Slice index 87 | 240x240
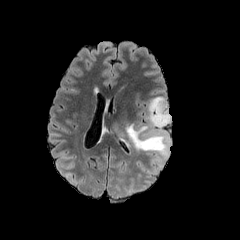
FLAIR magnetic resonance.
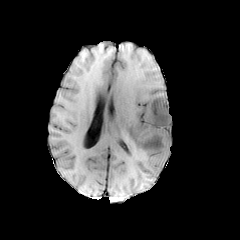
T1-weighted magnetic resonance of the same slice.
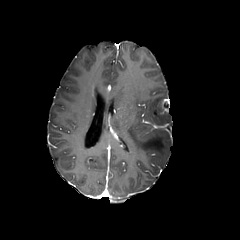
Same slice, post-contrast T1-weighted MR.
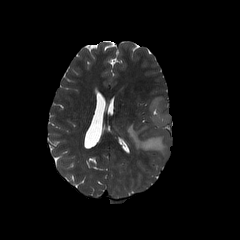
Same slice, T2-weighted magnetic resonance.
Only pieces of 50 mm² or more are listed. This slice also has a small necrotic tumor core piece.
The enhancing tumor lies within 160, 98, 169, 114. The largest peritumoral edema region is at 126, 96, 171, 172.